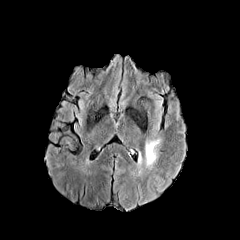
FLAIR MRI.
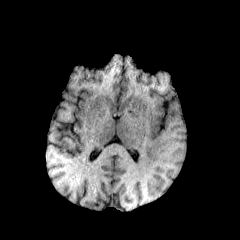
Same slice, T1-weighted magnetic resonance.
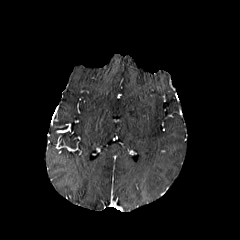
Post-contrast T1-weighted MRI of the same slice.
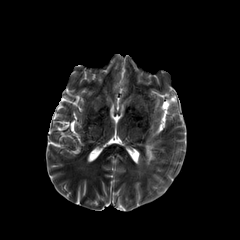
Same slice, T2-weighted MR image.
Head. Axial plane.
peritumoral edema: box(145, 140, 158, 165)